Axial view
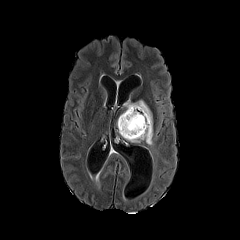
FLAIR MRI.
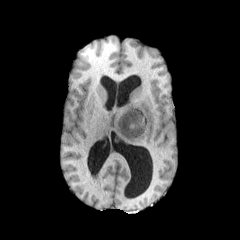
Same slice, T1-weighted magnetic resonance.
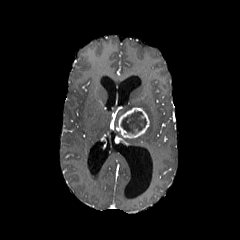
Post-contrast T1-weighted MR image.
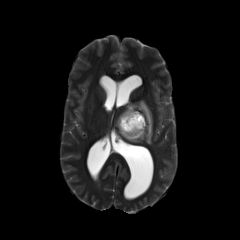
T2-weighted MR image of the same slice.
- peritumoral edema: 124 100 153 144
- enhancing tumor: 117 107 149 138
- necrotic tumor core: 121 111 146 135